Brain; Axial slice; Image width 240 mm, 1.00 mm slice spacing
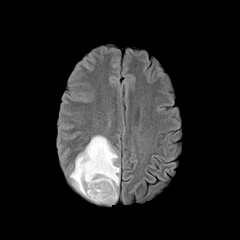
FLAIR magnetic resonance.
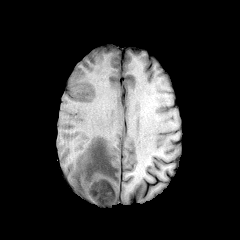
T1-weighted magnetic resonance.
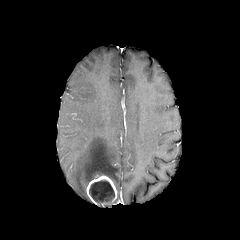
Same slice, post-contrast T1-weighted MRI.
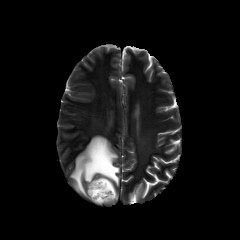
T2-weighted MR of the same slice.
<segmentation>
  <peritumoral_edema>l=70, t=135, r=119, b=198</peritumoral_edema>
  <enhancing_tumor>l=86, t=175, r=117, b=205</enhancing_tumor>
  <necrotic_tumor_core>l=89, t=180, r=114, b=203</necrotic_tumor_core>
</segmentation>